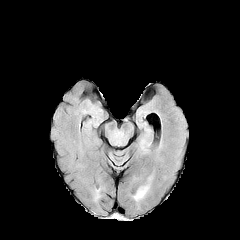
FLAIR MR image.
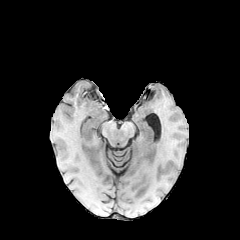
T1-weighted MR.
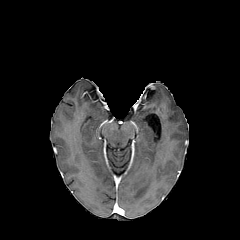
Post-contrast T1-weighted magnetic resonance.
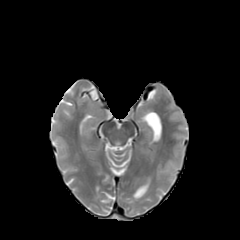
T2-weighted MR of the same slice.
Image size 240x240.
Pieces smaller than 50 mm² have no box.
peritumoral edema: [133, 177, 151, 200]